Image size 240x240; Image width 240 mm
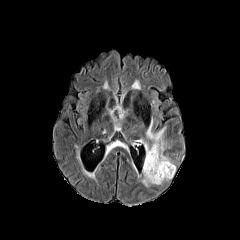
FLAIR magnetic resonance.
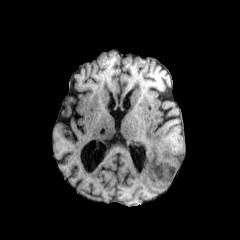
T1-weighted MR of the same slice.
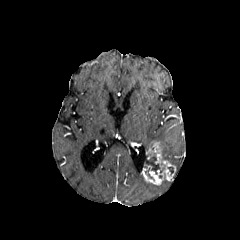
Same slice, post-contrast T1-weighted MR.
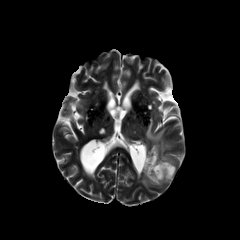
Same slice, T2-weighted magnetic resonance.
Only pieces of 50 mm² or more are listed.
The largest peritumoral edema region is bounded by {"x1": 146, "y1": 121, "x2": 175, "y2": 166}. The largest necrotic tumor core region appears at {"x1": 143, "y1": 154, "x2": 164, "y2": 174}. The largest enhancing tumor region is at {"x1": 142, "y1": 142, "x2": 175, "y2": 184}.